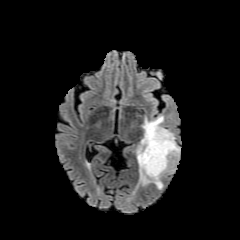
FLAIR MR.
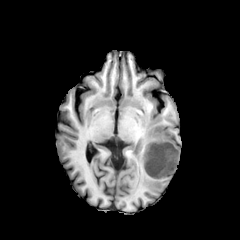
T1-weighted magnetic resonance.
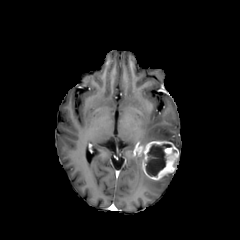
Post-contrast T1-weighted MR of the same slice.
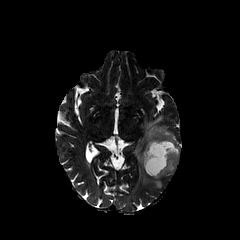
T2-weighted MR of the same slice.
Axial view, Brain
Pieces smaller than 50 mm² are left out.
Annotated regions:
* peritumoral edema: box(140, 115, 180, 152); box(137, 152, 162, 189)
* enhancing tumor: box(136, 141, 179, 180)
* necrotic tumor core: box(146, 144, 171, 176)